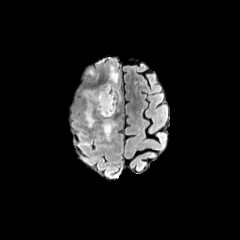
FLAIR magnetic resonance.
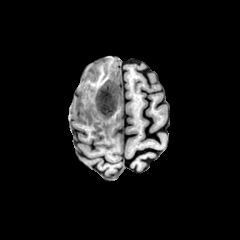
Same slice, T1-weighted MR.
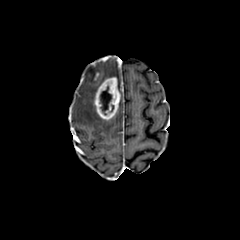
Post-contrast T1-weighted magnetic resonance of the same slice.
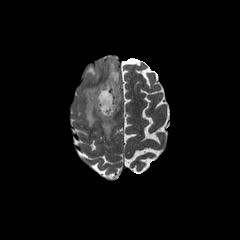
T2-weighted MRI.
Axial plane. Head.
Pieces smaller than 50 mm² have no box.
necrotic tumor core: box(100, 86, 111, 114)
peritumoral edema: box(102, 119, 116, 140); box(109, 64, 119, 87); box(84, 90, 96, 127)
enhancing tumor: box(94, 77, 120, 119)